FLAIR MR image.
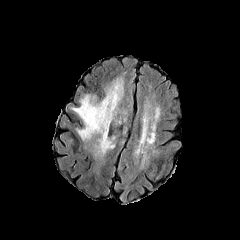
T1-weighted MRI.
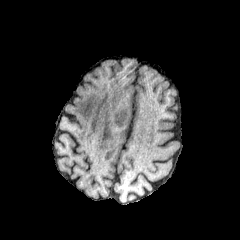
Post-contrast T1-weighted MR.
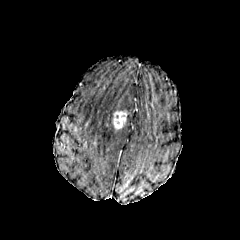
T2-weighted MR.
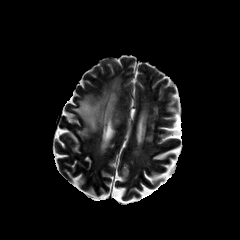
Axial slice; 240x240
Segmented structures:
• enhancing tumor: region(113, 111, 127, 128)
• peritumoral edema: region(72, 79, 122, 140); region(94, 136, 114, 155)